FLAIR MR image.
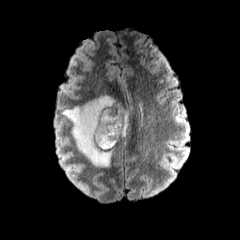
T1-weighted MR image.
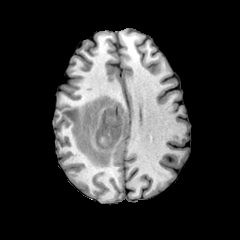
Post-contrast T1-weighted MRI.
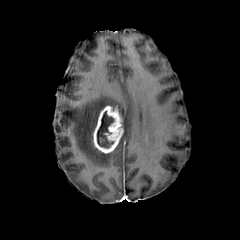
T2-weighted MRI.
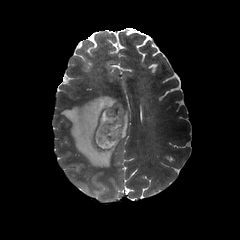
Axial slice; 240x240
{"enhancing_tumor": ["(93,105,124,153)"], "necrotic_tumor_core": ["(97,110,113,148)"], "peritumoral_edema": ["(62,94,128,166)"]}